FLAIR MRI.
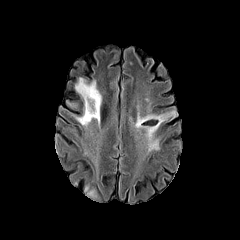
T1-weighted MR image.
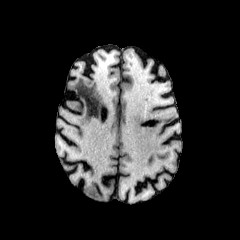
Post-contrast T1-weighted MRI.
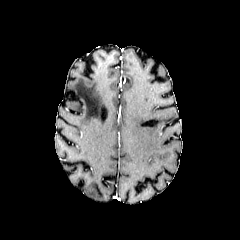
T2-weighted MRI.
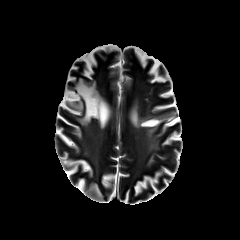
Brain.
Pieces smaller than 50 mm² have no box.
peritumoral edema = bbox=[73, 77, 101, 125]; bbox=[147, 139, 159, 150]; bbox=[134, 111, 176, 140]; bbox=[84, 183, 97, 199]